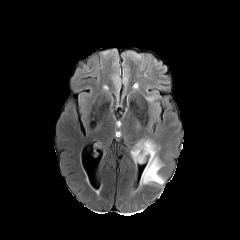
FLAIR magnetic resonance.
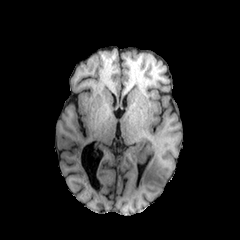
T1-weighted MRI.
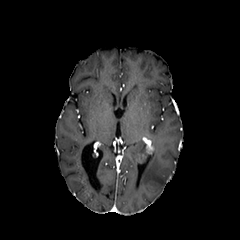
Same slice, post-contrast T1-weighted MR.
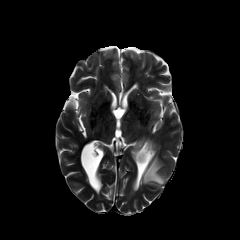
T2-weighted MRI of the same slice.
Brain | Axial plane
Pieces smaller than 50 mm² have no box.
enhancing tumor = [x1=146, y1=146, x2=153, y2=153]
peritumoral edema = [x1=140, y1=144, x2=164, y2=184], [x1=131, y1=142, x2=148, y2=162]